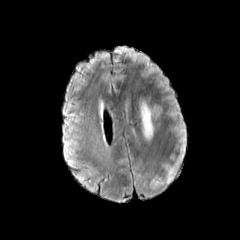
FLAIR MR image.
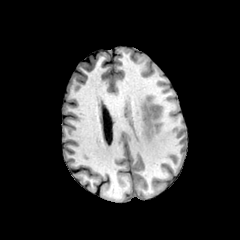
T1-weighted MR image of the same slice.
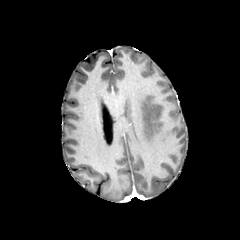
Same slice, post-contrast T1-weighted MRI.
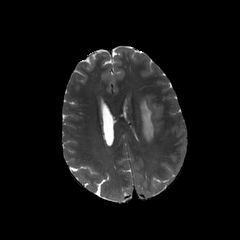
T2-weighted MR image.
Axial slice. Head.
Segmented structures:
* peritumoral edema: region(140, 101, 153, 140)